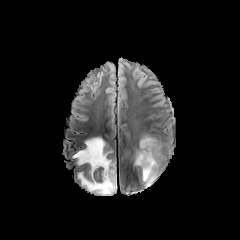
FLAIR MR.
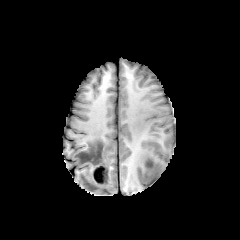
Same slice, T1-weighted magnetic resonance.
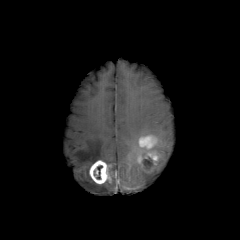
Same slice, post-contrast T1-weighted MR.
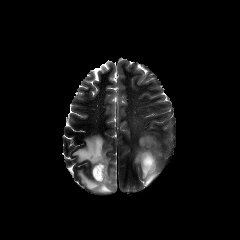
Same slice, T2-weighted MRI.
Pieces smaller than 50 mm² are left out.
{
  "peritumoral_edema": [
    "141,143,162,187",
    "134,147,145,167",
    "73,137,116,194"
  ],
  "necrotic_tumor_core": [
    "143,157,153,170"
  ],
  "enhancing_tumor": [
    "137,136,159,173",
    "89,160,111,184"
  ]
}